240x240 px | Brain | Axial plane
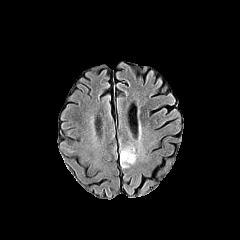
FLAIR MR.
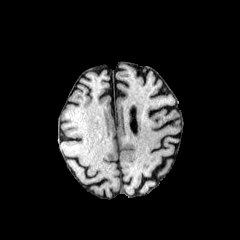
T1-weighted magnetic resonance of the same slice.
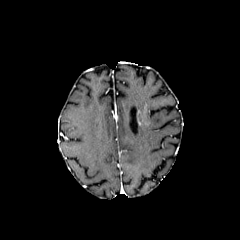
Post-contrast T1-weighted magnetic resonance.
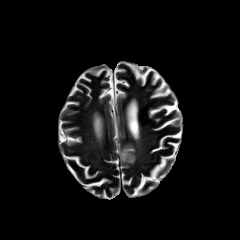
T2-weighted MR.
Findings:
* peritumoral edema: left=120, top=145, right=136, bottom=168